FLAIR MR image.
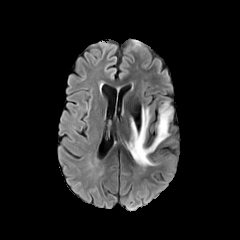
T1-weighted MRI.
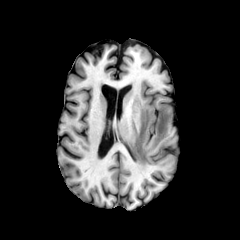
Post-contrast T1-weighted magnetic resonance.
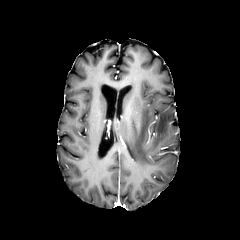
T2-weighted MRI.
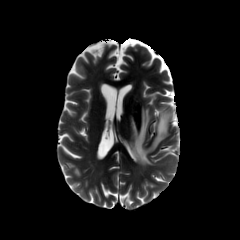
240x240 px, Brain, Axial plane
The peritumoral edema appears at bbox=[127, 102, 173, 167].